Slice 89/155. 240x240 px. Brain. Axial plane.
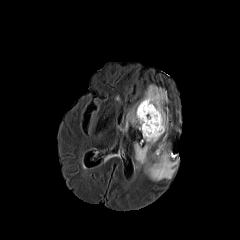
FLAIR MRI.
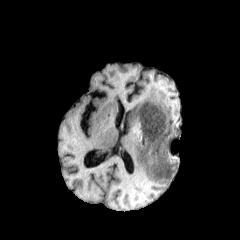
T1-weighted MR image of the same slice.
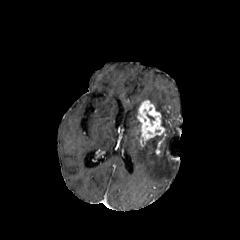
Post-contrast T1-weighted MR image of the same slice.
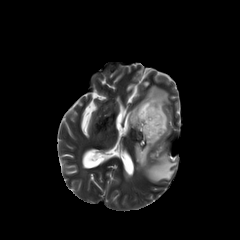
T2-weighted MR image.
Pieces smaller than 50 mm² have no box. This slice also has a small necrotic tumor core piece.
enhancing_tumor:
  - [x1=137, y1=100, x2=166, y2=144]
peritumoral_edema:
  - [x1=127, y1=85, x2=168, y2=131]
  - [x1=135, y1=135, x2=177, y2=181]